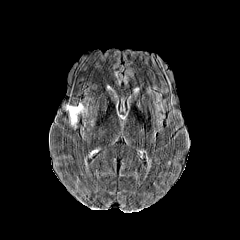
FLAIR MR.
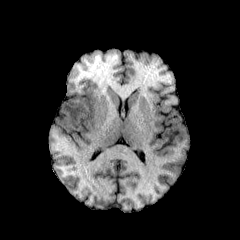
T1-weighted MR image.
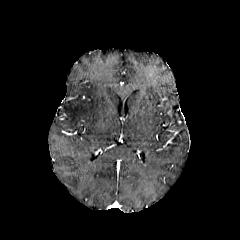
Post-contrast T1-weighted magnetic resonance.
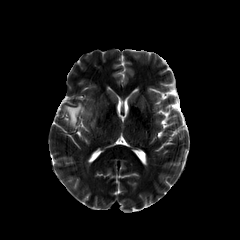
T2-weighted magnetic resonance of the same slice.
Axial slice; Brain; Image size 240x240
The peritumoral edema is bounded by l=65, t=103, r=84, b=127.